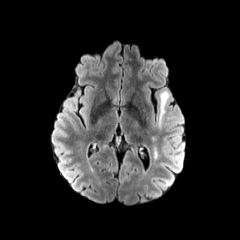
FLAIR MR image.
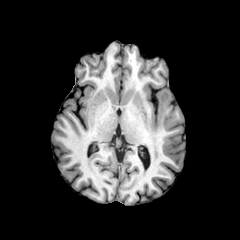
T1-weighted MRI.
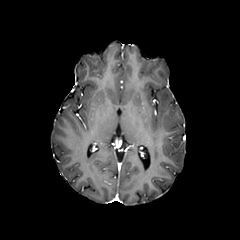
Post-contrast T1-weighted MR of the same slice.
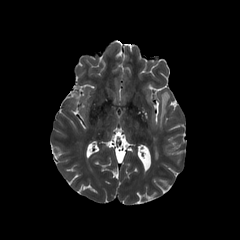
T2-weighted MR.
Brain
peritumoral edema at (159,91,169,130)